FLAIR MRI.
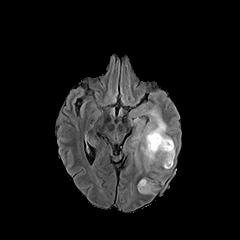
T1-weighted MR image.
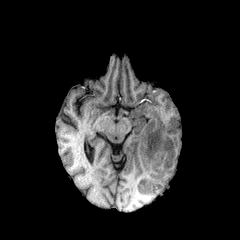
Post-contrast T1-weighted MR.
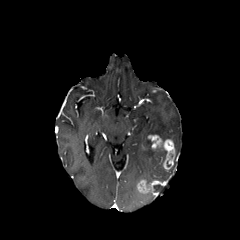
T2-weighted MRI.
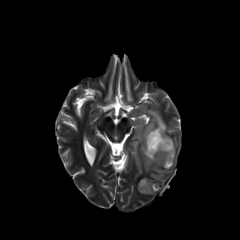
Image size 240x240; Head; Axial slice
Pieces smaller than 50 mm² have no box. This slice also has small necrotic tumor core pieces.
enhancing tumor: x1=137, y1=179, x2=160, y2=194; x1=147, y1=134, x2=175, y2=169
peritumoral edema: x1=132, y1=93, x2=176, y2=181